FLAIR magnetic resonance.
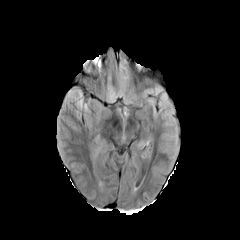
T1-weighted MR.
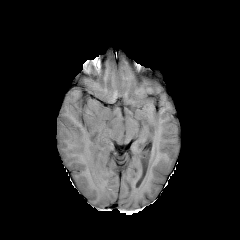
Post-contrast T1-weighted MR image.
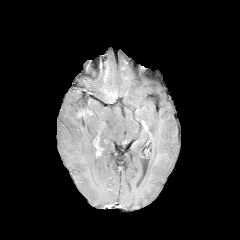
T2-weighted MR.
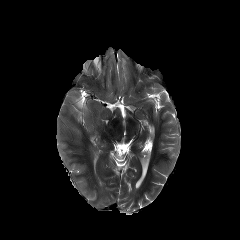
Axial plane | 240x240 | Head
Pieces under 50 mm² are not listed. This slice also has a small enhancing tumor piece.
<segmentation>
  <peritumoral_edema>(76,94,87,111)</peritumoral_edema>
</segmentation>